240x240
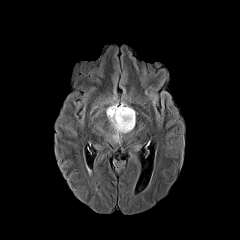
FLAIR magnetic resonance.
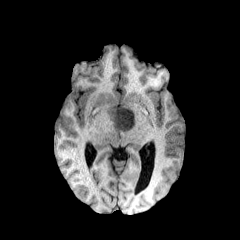
Same slice, T1-weighted magnetic resonance.
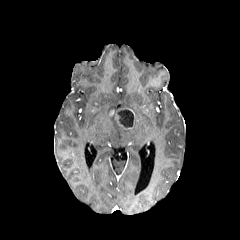
Post-contrast T1-weighted MR.
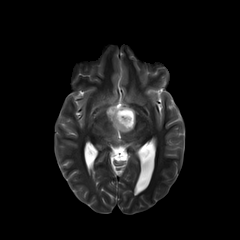
T2-weighted MR.
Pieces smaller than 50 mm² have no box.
The necrotic tumor core lies within (117, 109, 133, 127). The largest peritumoral edema region is located at (105, 100, 134, 143). The largest enhancing tumor region is located at (114, 108, 134, 129).